FLAIR magnetic resonance.
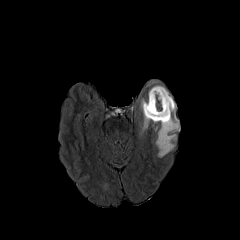
T1-weighted magnetic resonance.
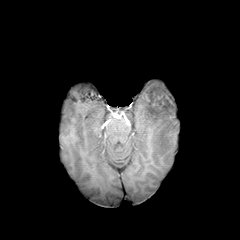
Post-contrast T1-weighted MR.
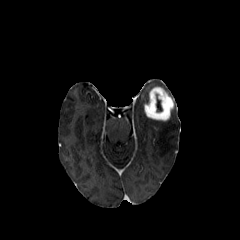
T2-weighted magnetic resonance.
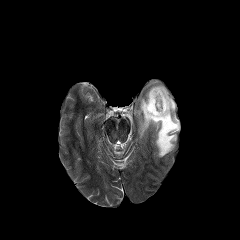
Head
enhancing_tumor:
  - <box>144,86,174,121</box>
necrotic_tumor_core:
  - <box>156,94,162,111</box>
peritumoral_edema:
  - <box>148,81,166,90</box>
  - <box>139,92,179,157</box>